FLAIR MR.
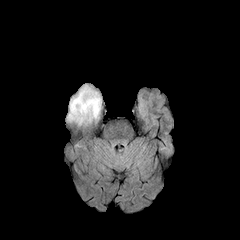
T1-weighted MRI.
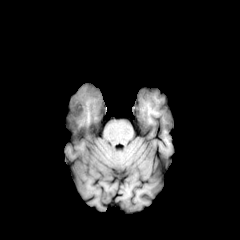
Post-contrast T1-weighted magnetic resonance.
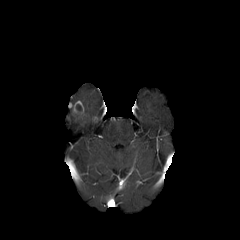
T2-weighted MR image.
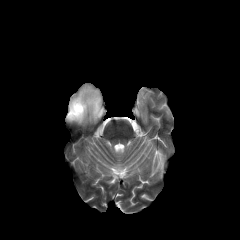
Image size 240x240 | Head
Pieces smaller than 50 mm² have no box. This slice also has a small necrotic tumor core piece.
The enhancing tumor is bounded by 67:100:84:119. The largest peritumoral edema region appears at 67:84:101:124.